Brain. Image width 240 mm, 1.00 mm slice spacing. Slice 67/155. Image size 240x240.
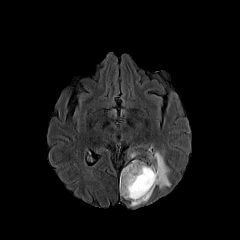
FLAIR MR image.
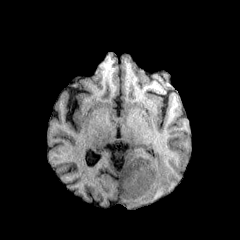
T1-weighted MR.
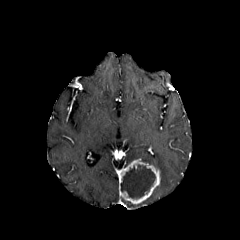
Post-contrast T1-weighted MRI.
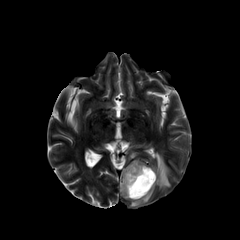
T2-weighted MR.
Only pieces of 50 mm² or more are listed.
Segmented structures:
* necrotic tumor core: 121 165 155 198
* peritumoral edema: 129 151 138 158, 149 151 170 189
* enhancing tumor: 119 159 160 204